Image size 240x240 | Axial slice
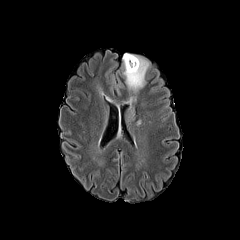
FLAIR MR.
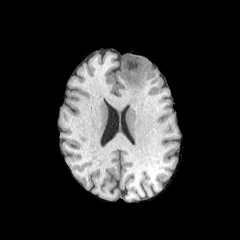
T1-weighted magnetic resonance.
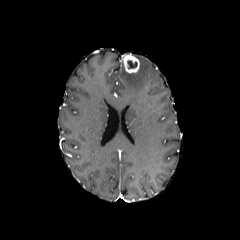
Post-contrast T1-weighted MRI of the same slice.
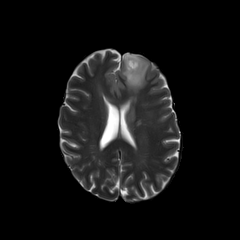
T2-weighted MRI.
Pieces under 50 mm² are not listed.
peritumoral edema: (left=124, top=105, right=135, bottom=124), (left=122, top=55, right=149, bottom=92)
necrotic tumor core: (left=127, top=60, right=137, bottom=69)
enhancing tumor: (left=122, top=54, right=139, bottom=73)